Slice 38/155
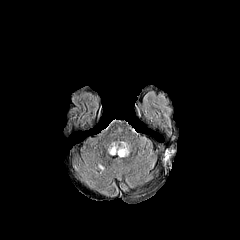
FLAIR MR.
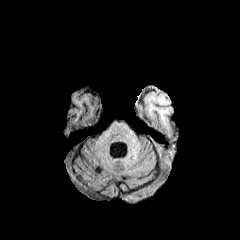
T1-weighted MR of the same slice.
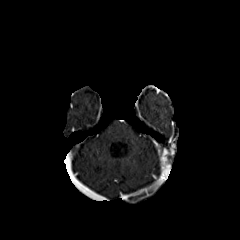
Post-contrast T1-weighted magnetic resonance.
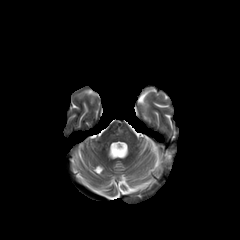
Same slice, T2-weighted MRI.
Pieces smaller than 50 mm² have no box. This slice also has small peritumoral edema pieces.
<segmentation>
  <enhancing_tumor>bbox=[161, 146, 174, 165]</enhancing_tumor>
</segmentation>